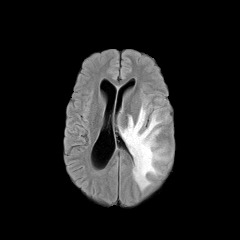
FLAIR MR.
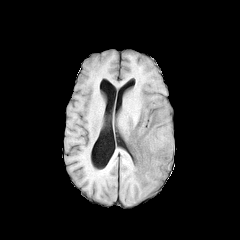
T1-weighted MR.
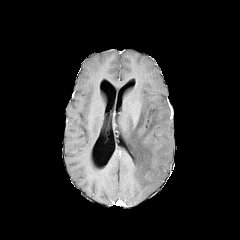
Post-contrast T1-weighted MR.
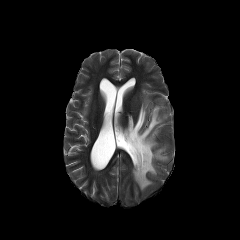
T2-weighted MRI.
Brain
peritumoral edema: [120, 102, 168, 190]